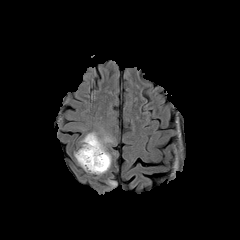
FLAIR MRI.
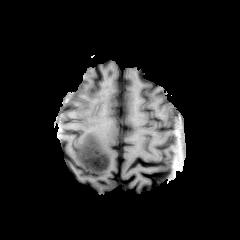
Same slice, T1-weighted MRI.
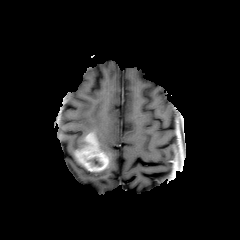
Same slice, post-contrast T1-weighted MRI.
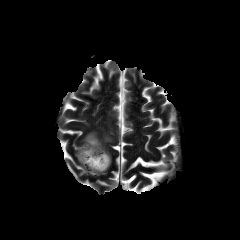
T2-weighted magnetic resonance.
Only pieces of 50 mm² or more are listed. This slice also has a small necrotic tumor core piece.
The largest peritumoral edema region is located at {"x1": 78, "y1": 131, "x2": 113, "y2": 174}. The enhancing tumor is bounded by {"x1": 75, "y1": 133, "x2": 109, "y2": 171}.